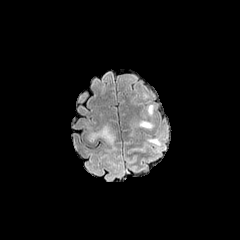
FLAIR MR image.
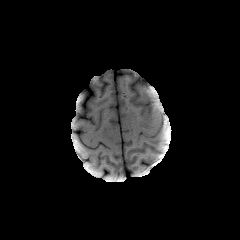
Same slice, T1-weighted magnetic resonance.
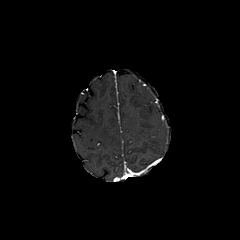
Post-contrast T1-weighted MR.
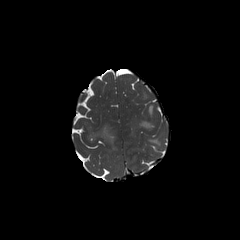
Same slice, T2-weighted magnetic resonance.
Brain | Axial plane
4 peritumoral edema regions are located at box(148, 105, 153, 115); box(90, 126, 114, 144); box(139, 120, 153, 129); box(148, 134, 162, 146).